FLAIR MR image.
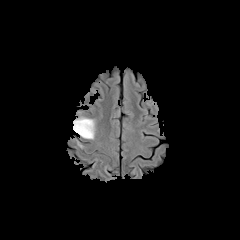
T1-weighted magnetic resonance.
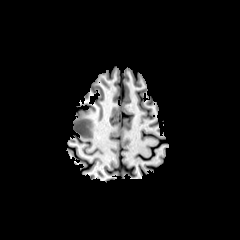
Post-contrast T1-weighted MR image.
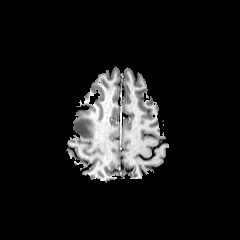
T2-weighted magnetic resonance.
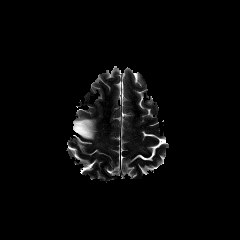
Image size 240x240. Head.
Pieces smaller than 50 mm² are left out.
{
  "peritumoral_edema": [
    "73:117:94:139"
  ]
}